Head. Axial view. Image size 240x240.
FLAIR MR image.
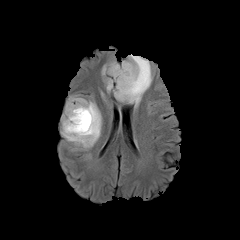
T1-weighted MRI.
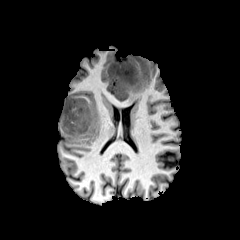
Post-contrast T1-weighted MRI.
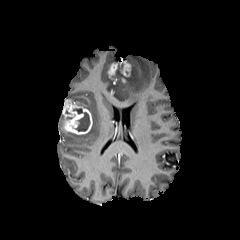
T2-weighted MR image.
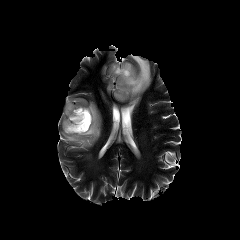
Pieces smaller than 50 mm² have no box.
Segmented structures:
* enhancing tumor: 108:63:117:76, 121:60:130:76, 62:99:92:134
* peritumoral edema: 113:54:152:106, 61:96:101:148, 101:61:116:91
* necrotic tumor core: 76:112:89:131, 111:63:126:78